Head; Image size 240x240; Axial plane
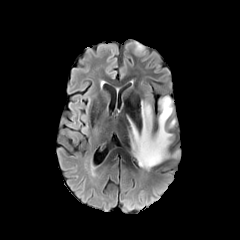
FLAIR MR image.
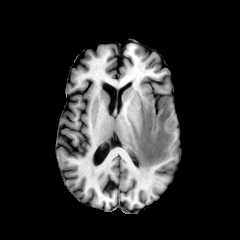
T1-weighted MR.
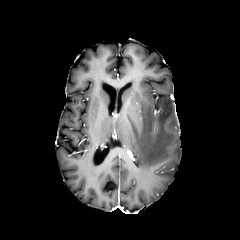
Post-contrast T1-weighted MR image of the same slice.
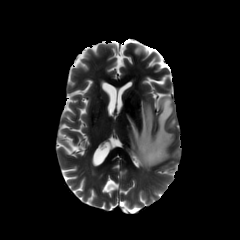
T2-weighted magnetic resonance.
peritumoral edema: (left=128, top=96, right=175, bottom=170)